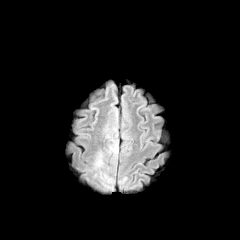
FLAIR MR image.
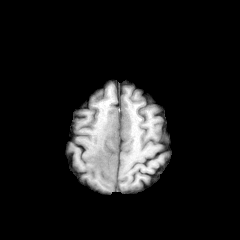
T1-weighted MR.
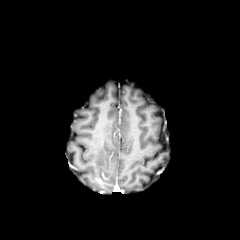
Same slice, post-contrast T1-weighted MR image.
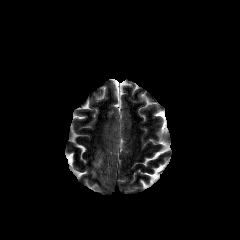
Same slice, T2-weighted MR image.
Head
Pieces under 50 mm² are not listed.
peritumoral edema: bounding box bbox(94, 152, 103, 167); bbox(106, 135, 118, 154)